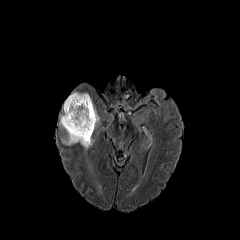
FLAIR MR image.
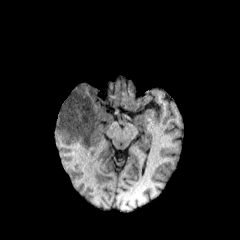
T1-weighted MR image of the same slice.
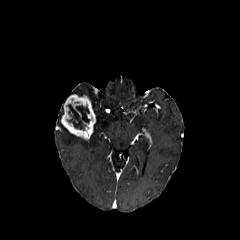
Post-contrast T1-weighted MR image of the same slice.
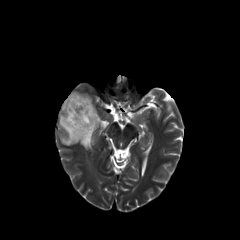
T2-weighted MR.
Axial view.
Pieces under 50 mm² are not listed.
3 peritumoral edema regions appear at l=92, t=102, r=100, b=129; l=72, t=92, r=91, b=101; l=59, t=110, r=94, b=150. The largest enhancing tumor region lies within l=61, t=94, r=96, b=140. The necrotic tumor core is at l=67, t=104, r=89, b=130.